Brain, Slice 77 of 155, Image size 240x240
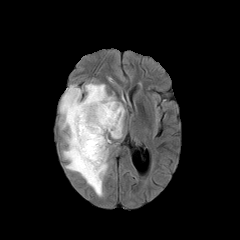
FLAIR MRI.
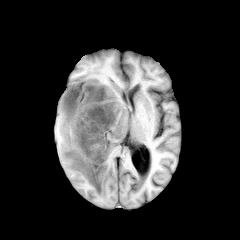
T1-weighted MR image.
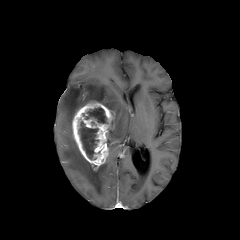
Post-contrast T1-weighted MRI.
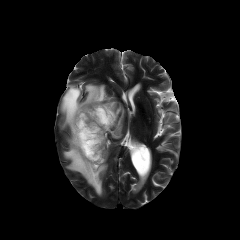
T2-weighted MR image.
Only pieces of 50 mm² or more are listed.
necrotic tumor core: l=86, t=107, r=106, b=123; l=79, t=122, r=98, b=158
peritumoral edema: l=60, t=83, r=124, b=196
enhancing tumor: l=72, t=101, r=115, b=170